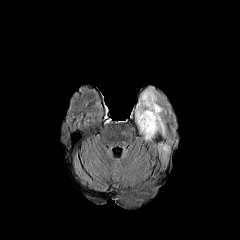
FLAIR MR.
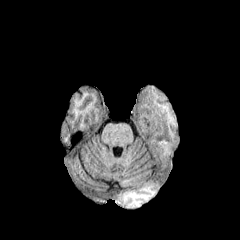
Same slice, T1-weighted MRI.
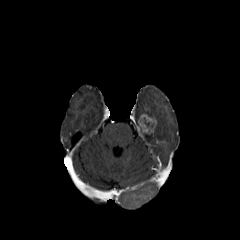
Same slice, post-contrast T1-weighted MR image.
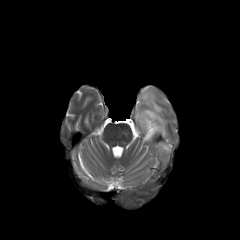
T2-weighted MR image.
peritumoral edema: (156,143,171,166), (135,85,165,141) | enhancing tumor: (138,114,156,133) | necrotic tumor core: (143,117,153,127)